Image size 240x240 | Head | Axial plane | Slice index 85
FLAIR magnetic resonance.
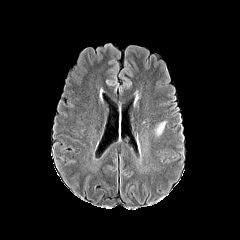
T1-weighted magnetic resonance.
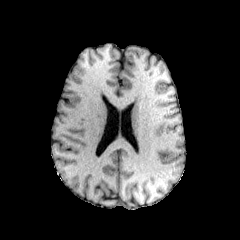
Post-contrast T1-weighted MRI.
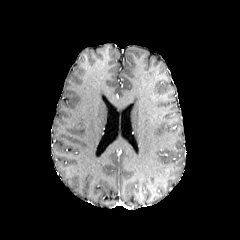
T2-weighted MR.
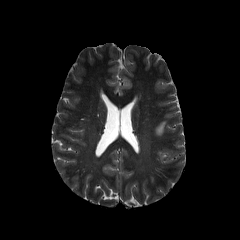
peritumoral_edema:
  - left=155, top=121, right=166, bottom=135